Brain | Axial plane | 240x240 px | Image width 240 mm, 1.00 mm slice spacing
FLAIR MR.
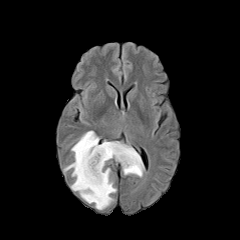
T1-weighted MR.
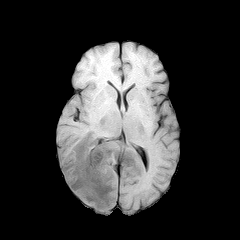
Post-contrast T1-weighted MRI.
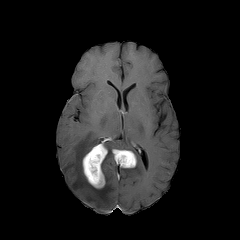
T2-weighted MRI.
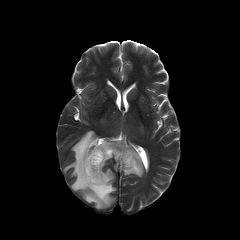
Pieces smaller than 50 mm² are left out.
2 enhancing tumor regions are bounded by (x1=112, y1=149, x2=136, y2=167), (x1=82, y1=142, x2=107, y2=188). The largest necrotic tumor core region is at (x1=89, y1=153, x2=99, y2=177). The peritumoral edema is located at (x1=64, y1=131, x2=144, y2=209).